Axial plane | Image size 240x240 | Head | Slice 49/155
FLAIR magnetic resonance.
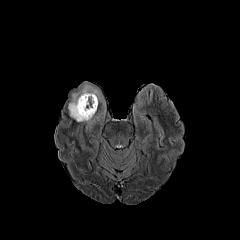
T1-weighted MRI.
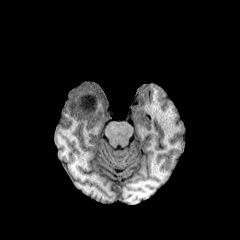
Post-contrast T1-weighted magnetic resonance.
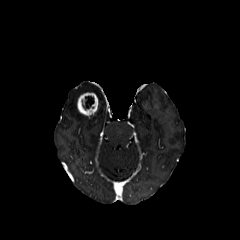
T2-weighted magnetic resonance.
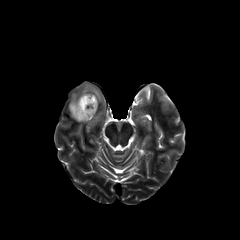
{
  "necrotic_tumor_core": [
    "83, 96, 94, 109"
  ],
  "peritumoral_edema": [
    "68, 82, 105, 130"
  ],
  "enhancing_tumor": [
    "77, 92, 98, 118"
  ]
}